FLAIR magnetic resonance.
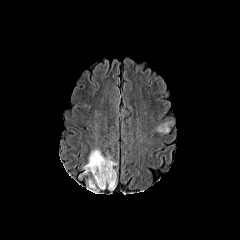
T1-weighted MRI.
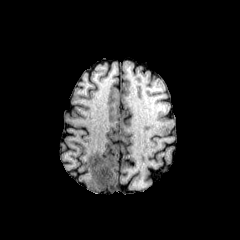
Post-contrast T1-weighted magnetic resonance.
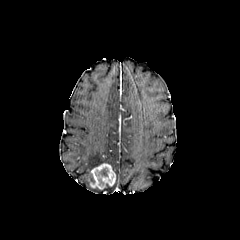
T2-weighted MRI.
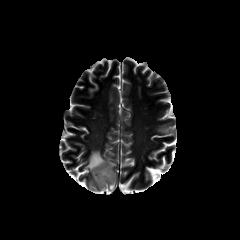
240x240 px
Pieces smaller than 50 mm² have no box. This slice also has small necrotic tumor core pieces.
Findings:
- enhancing tumor: 90 163 115 189
- peritumoral edema: 83 149 116 174, 87 179 99 192, 157 121 173 133